FLAIR MRI.
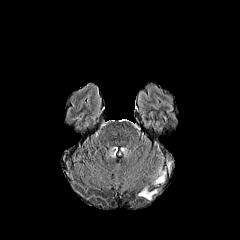
T1-weighted MR.
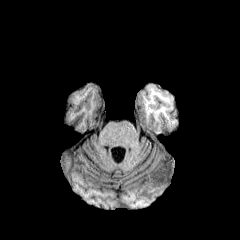
Post-contrast T1-weighted MR.
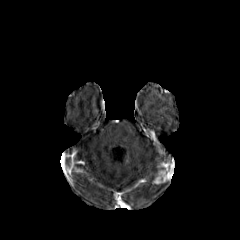
T2-weighted MR.
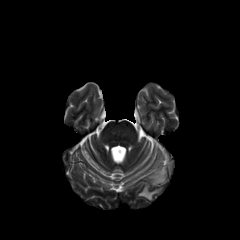
Head
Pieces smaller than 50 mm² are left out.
Findings:
- peritumoral edema: region(138, 186, 157, 199)
- enhancing tumor: region(152, 159, 171, 184)